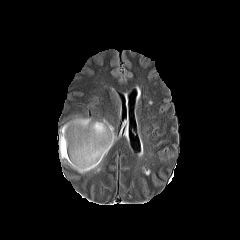
FLAIR MR.
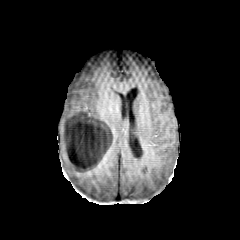
T1-weighted MRI of the same slice.
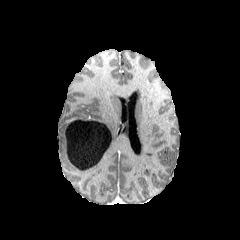
Post-contrast T1-weighted magnetic resonance.
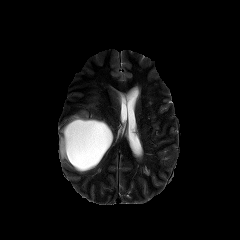
T2-weighted magnetic resonance.
Image size 240x240; Head
peritumoral edema = (left=59, top=114, right=116, bottom=173)
necrotic tumor core = (left=63, top=118, right=111, bottom=169)